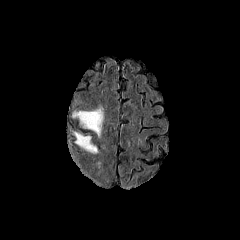
FLAIR magnetic resonance.
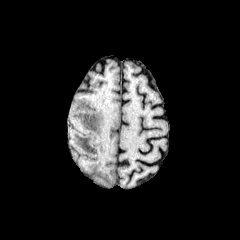
T1-weighted MR of the same slice.
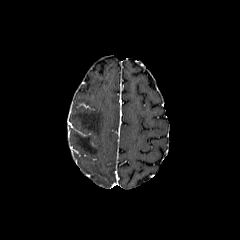
Post-contrast T1-weighted MR image.
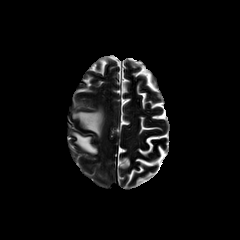
T2-weighted magnetic resonance of the same slice.
Axial view, Head
peritumoral edema at box(73, 132, 97, 153); box(72, 107, 103, 137)